240x240 px. Image covers 240 mm x 240 mm. Axial view.
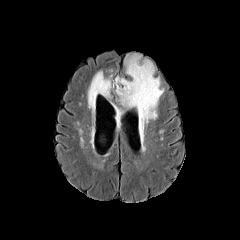
FLAIR magnetic resonance.
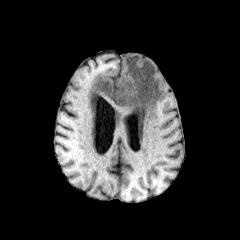
T1-weighted MR image.
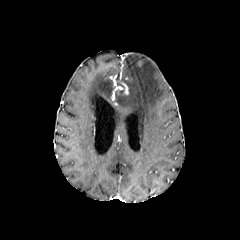
Post-contrast T1-weighted MR image.
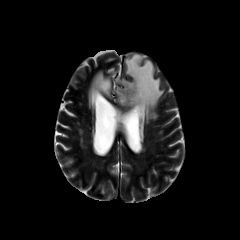
T2-weighted MR image.
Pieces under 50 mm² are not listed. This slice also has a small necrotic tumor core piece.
The largest enhancing tumor region is bounded by rect(121, 82, 128, 94). 2 peritumoral edema regions are located at rect(116, 54, 164, 125); rect(88, 69, 111, 107).